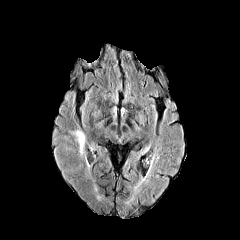
FLAIR MRI.
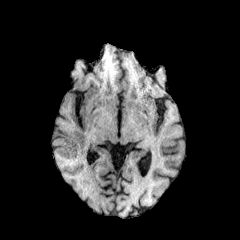
Same slice, T1-weighted MRI.
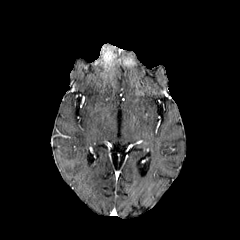
Same slice, post-contrast T1-weighted MR image.
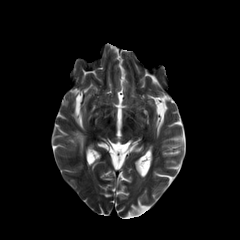
T2-weighted magnetic resonance.
Head.
<segmentation>
  <peritumoral_edema>l=72, t=130, r=85, b=154</peritumoral_edema>
</segmentation>